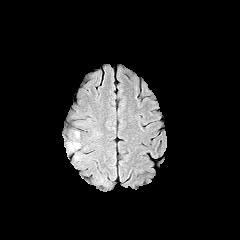
FLAIR MR.
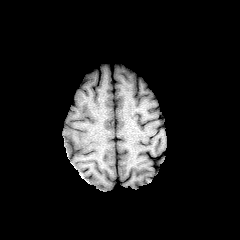
T1-weighted MR image of the same slice.
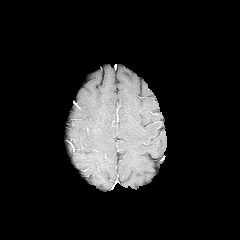
Post-contrast T1-weighted MRI.
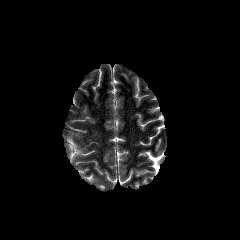
T2-weighted MRI of the same slice.
Brain. Axial view.
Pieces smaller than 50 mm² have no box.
The largest peritumoral edema region is located at <box>67,141,80,151</box>.